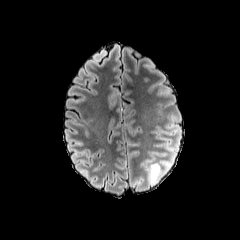
FLAIR magnetic resonance.
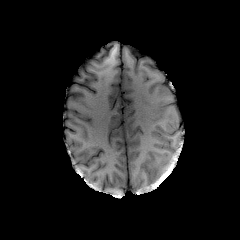
Same slice, T1-weighted MR image.
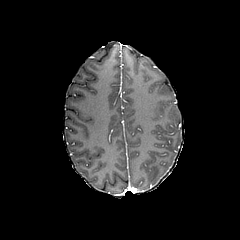
Post-contrast T1-weighted MR.
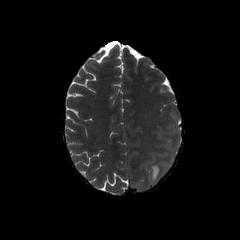
T2-weighted MR image.
Axial view. 240x240 px. Head.
The peritumoral edema lies within 146,159,162,184.